FLAIR MR.
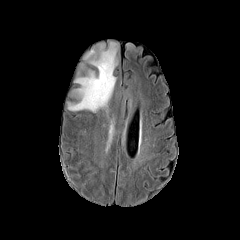
T1-weighted magnetic resonance.
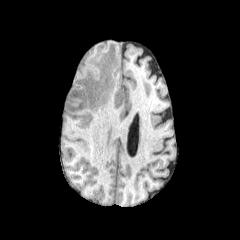
Post-contrast T1-weighted MR.
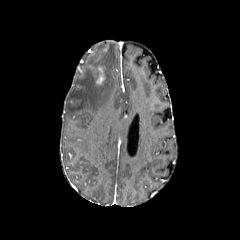
T2-weighted MRI.
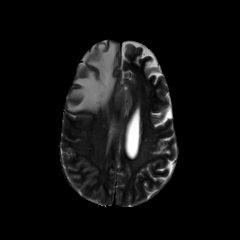
Axial plane; Brain
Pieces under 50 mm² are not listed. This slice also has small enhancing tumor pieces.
peritumoral edema: x1=68 y1=42 x2=117 y2=112